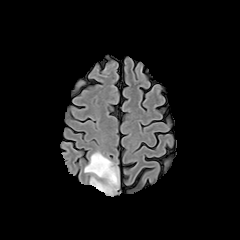
FLAIR MR image.
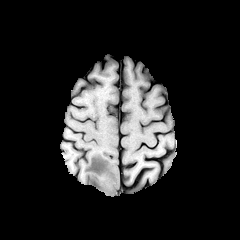
T1-weighted magnetic resonance of the same slice.
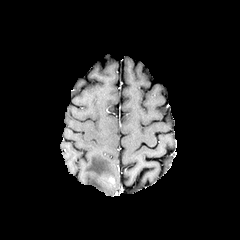
Post-contrast T1-weighted magnetic resonance.
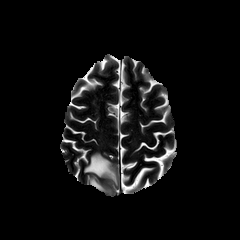
Same slice, T2-weighted magnetic resonance.
Axial plane, Head
The peritumoral edema is bounded by l=84, t=152, r=117, b=194. The enhancing tumor is located at l=107, t=175, r=115, b=187.